240x240.
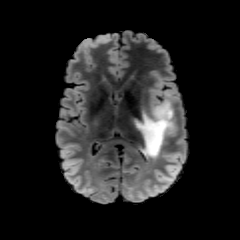
FLAIR magnetic resonance.
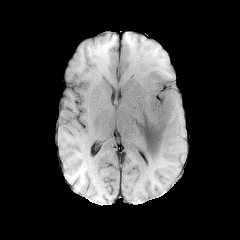
T1-weighted MRI of the same slice.
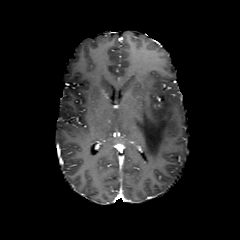
Post-contrast T1-weighted MRI.
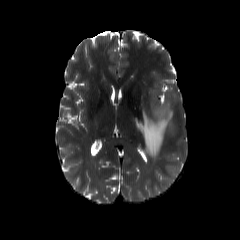
T2-weighted magnetic resonance.
peritumoral edema: 136,92,176,158